Axial slice
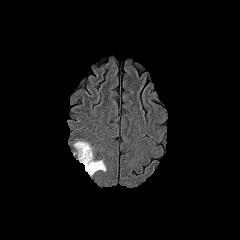
FLAIR MR.
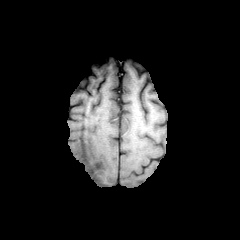
T1-weighted MRI.
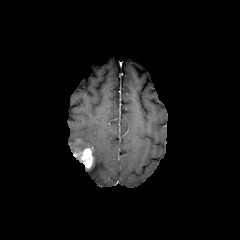
Post-contrast T1-weighted MRI.
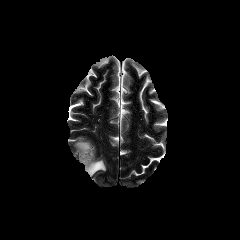
Same slice, T2-weighted magnetic resonance.
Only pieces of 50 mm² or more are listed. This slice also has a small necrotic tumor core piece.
* enhancing tumor: box(73, 147, 93, 169)
* peritumoral edema: box(73, 141, 91, 148); box(85, 160, 106, 176)